Slice 95 of 155. Image size 240x240.
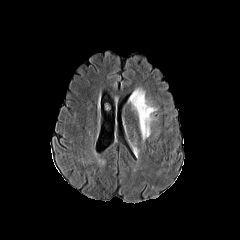
FLAIR MR.
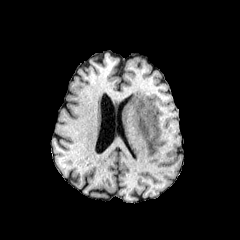
T1-weighted MR image.
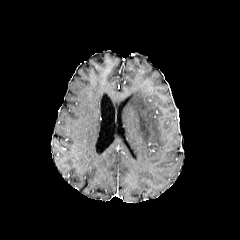
Post-contrast T1-weighted MRI.
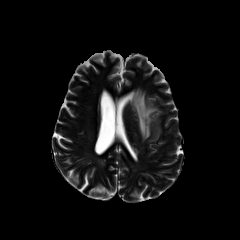
Same slice, T2-weighted MR.
{"peritumoral_edema": ["(x1=130, y1=88, x2=156, y2=140)"]}